Axial view; Image size 240x240; Slice index 107
FLAIR MR image.
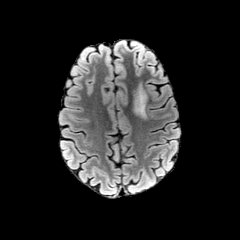
T1-weighted MRI.
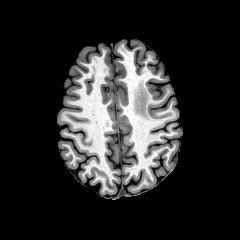
Post-contrast T1-weighted magnetic resonance.
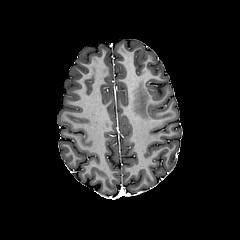
T2-weighted magnetic resonance.
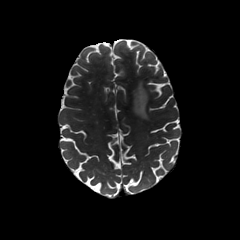
<segmentation>
  <peritumoral_edema>[133,84,147,118]</peritumoral_edema>
</segmentation>